FLAIR MR image.
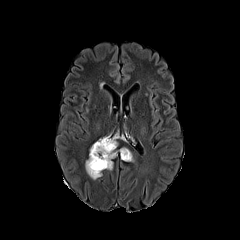
T1-weighted magnetic resonance.
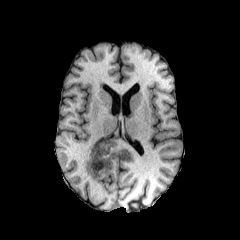
Post-contrast T1-weighted MR image.
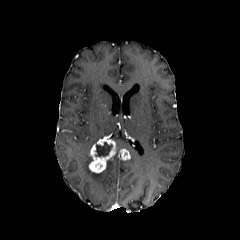
T2-weighted MR.
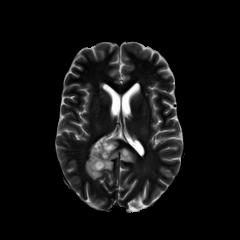
Brain
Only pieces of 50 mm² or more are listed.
The necrotic tumor core is at {"x1": 95, "y1": 142, "x2": 112, "y2": 156}. The 2 largest peritumoral edema regions appear at {"x1": 106, "y1": 160, "x2": 113, "y2": 170}, {"x1": 85, "y1": 154, "x2": 102, "y2": 179}. 2 enhancing tumor regions are located at {"x1": 120, "y1": 148, "x2": 130, "y2": 160}, {"x1": 88, "y1": 137, "x2": 116, "y2": 173}.